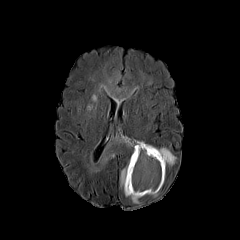
FLAIR MR image.
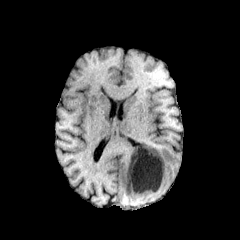
T1-weighted magnetic resonance.
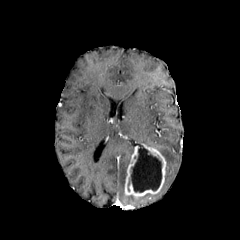
Same slice, post-contrast T1-weighted MRI.
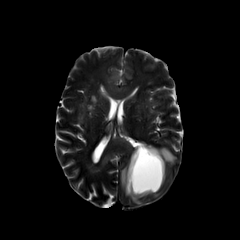
T2-weighted MRI.
Axial view
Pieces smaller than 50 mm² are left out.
peritumoral edema = region(156, 147, 176, 165); region(90, 138, 133, 170); region(120, 166, 127, 188); region(108, 85, 132, 97); region(125, 195, 139, 203)
enhancing tumor = region(124, 143, 166, 198)
necrotic tumor core = region(128, 144, 161, 192)